FLAIR MR.
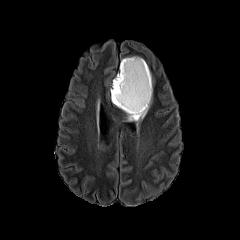
T1-weighted magnetic resonance.
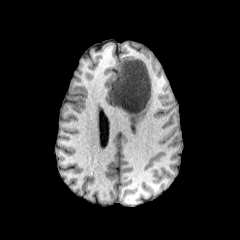
Post-contrast T1-weighted magnetic resonance.
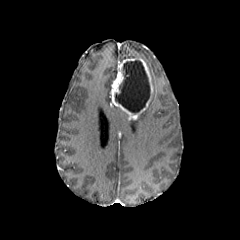
T2-weighted MR.
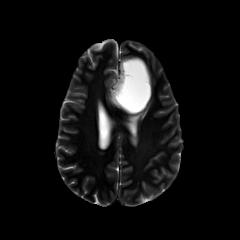
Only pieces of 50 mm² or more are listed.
peritumoral edema at 126 94 152 128
enhancing tumor at 111 58 152 120
necrotic tumor core at 115 60 150 113